Image width 240 mm; Image size 240x240
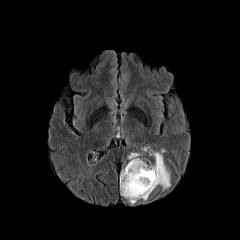
FLAIR MR.
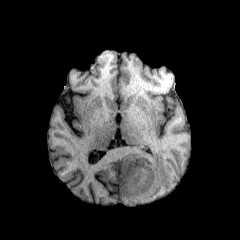
T1-weighted MR.
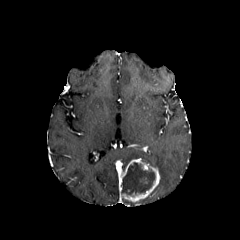
Post-contrast T1-weighted MR.
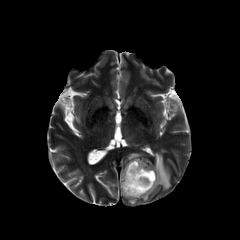
T2-weighted MR.
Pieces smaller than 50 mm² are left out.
- enhancing tumor: (left=119, top=158, right=160, bottom=202)
- peritumoral edema: (left=127, top=152, right=142, bottom=160), (left=150, top=149, right=170, bottom=190)
- necrotic tumor core: (left=121, top=162, right=155, bottom=194)